FLAIR MR image.
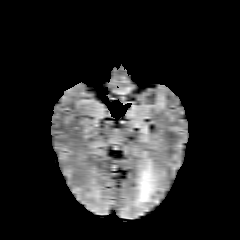
T1-weighted MRI.
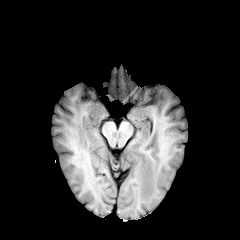
Post-contrast T1-weighted MR.
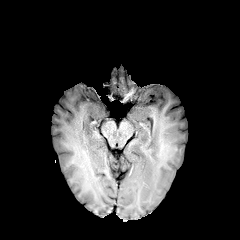
T2-weighted MRI.
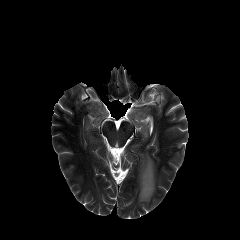
Axial view; Image size 240x240
peritumoral_edema:
  - rect(135, 158, 158, 205)